FLAIR MRI.
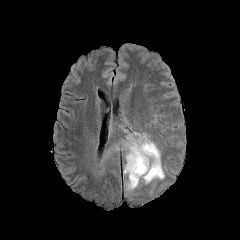
T1-weighted MRI.
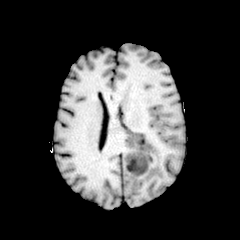
Post-contrast T1-weighted MRI.
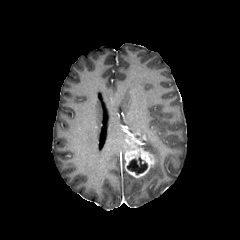
T2-weighted MR.
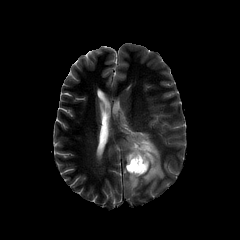
Axial plane
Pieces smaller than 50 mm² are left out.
* enhancing tumor: [x1=124, y1=133, x2=154, y2=177]
* peritumoral edema: [x1=127, y1=174, x2=139, y2=189], [x1=131, y1=132, x2=164, y2=183]
* necrotic tumor core: [x1=127, y1=157, x2=147, y2=174]